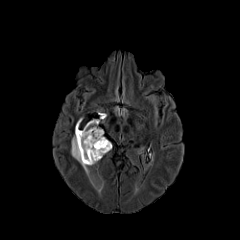
FLAIR MRI.
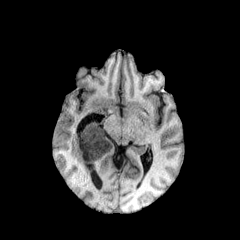
Same slice, T1-weighted MR image.
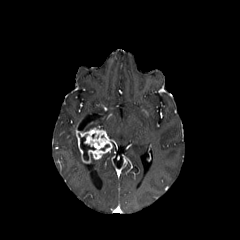
Same slice, post-contrast T1-weighted magnetic resonance.
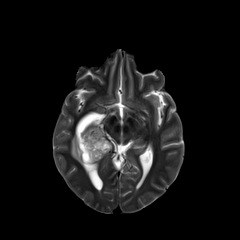
Same slice, T2-weighted MRI.
Head
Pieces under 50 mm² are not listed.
enhancing tumor — [x1=76, y1=127, x2=112, y2=163]
peritumoral edema — [x1=76, y1=118, x2=100, y2=131], [x1=71, y1=128, x2=85, y2=169], [x1=87, y1=153, x2=100, y2=165]
necrotic tumor core — [x1=80, y1=136, x2=95, y2=160]